Brain
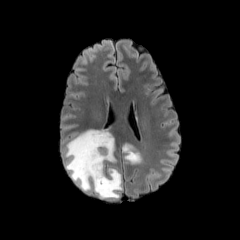
FLAIR MR.
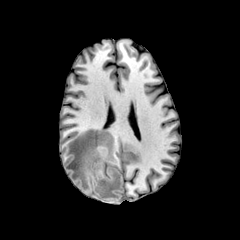
T1-weighted MR.
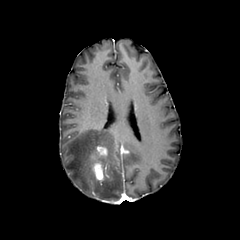
Post-contrast T1-weighted MRI.
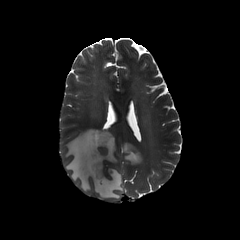
Same slice, T2-weighted magnetic resonance.
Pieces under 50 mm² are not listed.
The largest enhancing tumor region is at (x1=91, y1=146, x2=107, y2=181). 2 peritumoral edema regions appear at (x1=65, y1=129, x2=122, y2=199), (x1=122, y1=143, x2=141, y2=164).